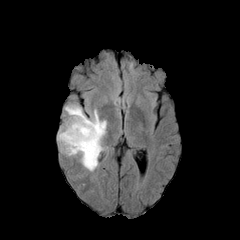
FLAIR MR.
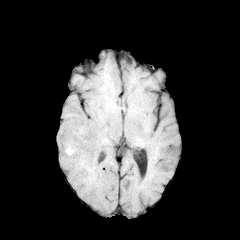
T1-weighted MRI of the same slice.
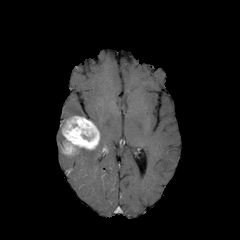
Post-contrast T1-weighted magnetic resonance.
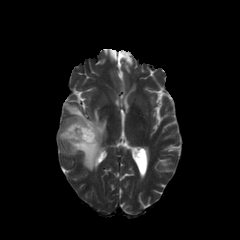
Same slice, T2-weighted MR.
Head.
peritumoral edema: bounding box 78,109,106,171; 57,126,64,147; 65,104,87,118
enhancing tumor: bounding box 61,116,100,155